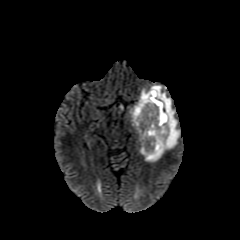
FLAIR MR image.
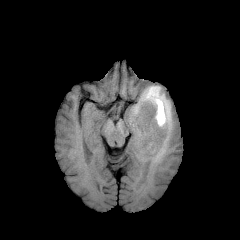
T1-weighted MRI.
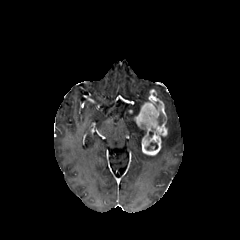
Post-contrast T1-weighted MR.
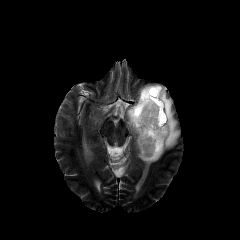
T2-weighted MR.
240x240
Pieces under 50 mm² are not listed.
<segmentation>
  <necrotic_tumor_core>(left=157, top=112, right=163, bottom=125), (left=147, top=142, right=157, bottom=149)</necrotic_tumor_core>
  <enhancing_tumor>(left=134, top=89, right=167, bottom=155)</enhancing_tumor>
  <peritumoral_edema>(left=127, top=84, right=180, bottom=162)</peritumoral_edema>
</segmentation>